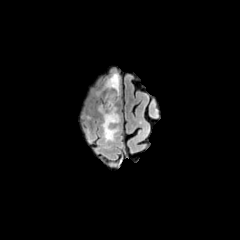
FLAIR MRI.
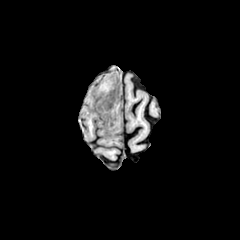
T1-weighted MR image.
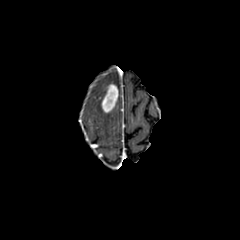
Post-contrast T1-weighted MRI.
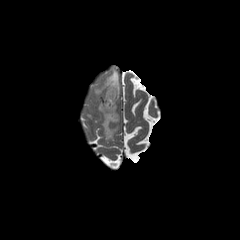
T2-weighted MR of the same slice.
Head; Axial slice; Image size 240x240
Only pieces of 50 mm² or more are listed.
peritumoral edema at rect(105, 71, 119, 94); rect(99, 105, 119, 141)
enhancing tumor at rect(101, 84, 118, 112)